Brain, Image size 240x240
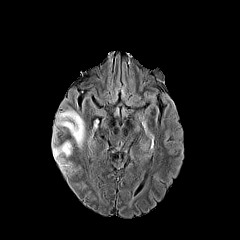
FLAIR magnetic resonance.
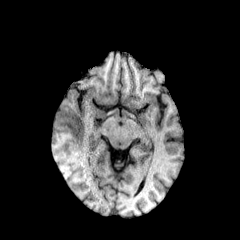
T1-weighted MR of the same slice.
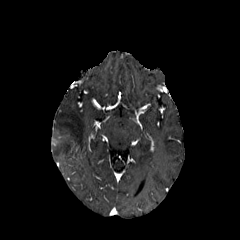
Post-contrast T1-weighted magnetic resonance of the same slice.
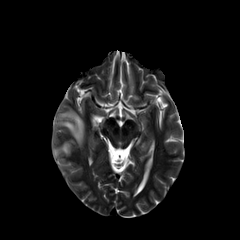
T2-weighted MR of the same slice.
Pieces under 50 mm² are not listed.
peritumoral edema — 53,141,72,164; 53,110,84,147